240x240 px; Slice 93/155
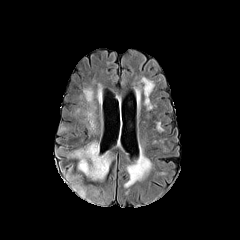
FLAIR MRI.
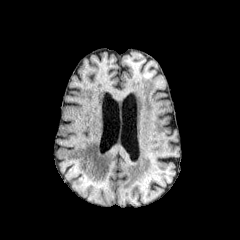
T1-weighted MRI.
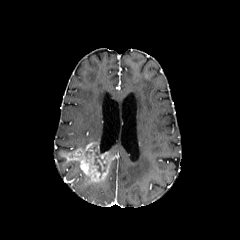
Post-contrast T1-weighted magnetic resonance of the same slice.
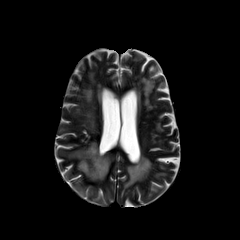
Same slice, T2-weighted MR.
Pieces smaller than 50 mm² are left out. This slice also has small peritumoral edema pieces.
enhancing tumor: bounding box [x1=59, y1=142, x2=112, y2=184]
necrotic tumor core: bounding box [x1=94, y1=151, x2=105, y2=173]